240x240 | Image width 240 mm | Axial view
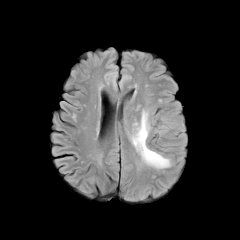
FLAIR magnetic resonance.
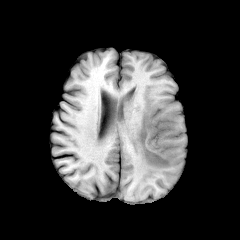
T1-weighted magnetic resonance.
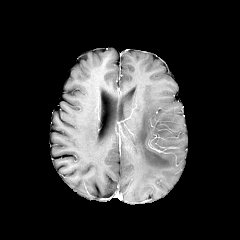
Post-contrast T1-weighted MR.
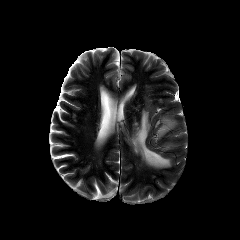
T2-weighted MR of the same slice.
peritumoral edema: (x1=130, y1=110, x2=171, y2=168), (x1=159, y1=119, x2=173, y2=134)